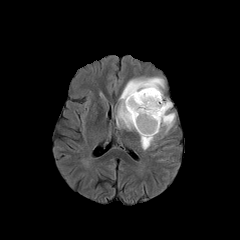
FLAIR magnetic resonance.
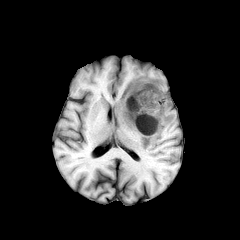
Same slice, T1-weighted magnetic resonance.
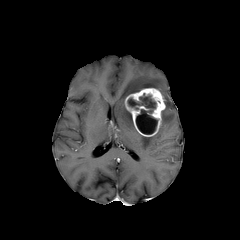
Same slice, post-contrast T1-weighted magnetic resonance.
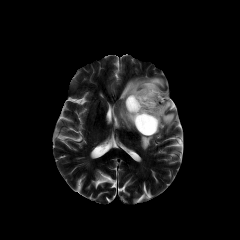
T2-weighted MR.
Head | 240x240
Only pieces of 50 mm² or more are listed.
{
  "necrotic_tumor_core": [
    "<bbox>128, 93, 157, 134</bbox>"
  ],
  "peritumoral_edema": [
    "<bbox>116, 77, 164, 130</bbox>",
    "<bbox>140, 96, 175, 149</bbox>"
  ],
  "enhancing_tumor": [
    "<bbox>125, 88, 165, 136</bbox>"
  ]
}